Axial view. Brain.
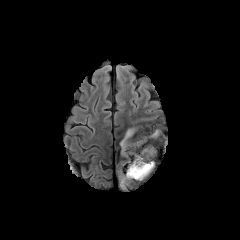
FLAIR magnetic resonance.
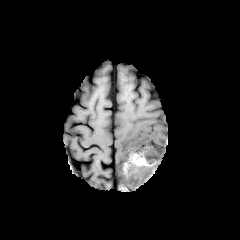
T1-weighted MRI.
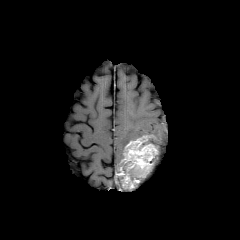
Post-contrast T1-weighted MR.
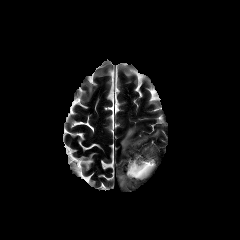
T2-weighted MR image.
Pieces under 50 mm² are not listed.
The 2 largest peritumoral edema regions are located at (x1=152, y1=129, x2=159, y2=138), (x1=120, y1=128, x2=135, y2=155). The largest necrotic tumor core region is bounded by (x1=128, y1=167, x2=147, y2=179). The enhancing tumor lies within (x1=118, y1=135, x2=158, y2=188).